Axial plane, Slice 77 of 155
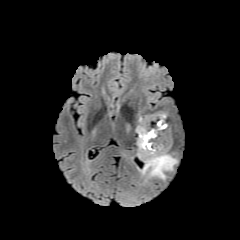
FLAIR magnetic resonance.
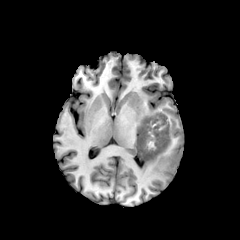
T1-weighted MRI.
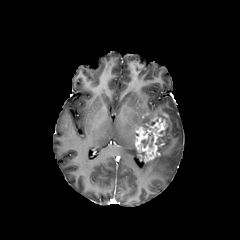
Same slice, post-contrast T1-weighted MRI.
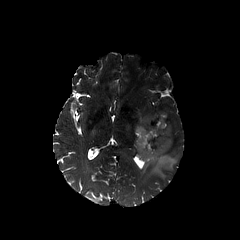
T2-weighted magnetic resonance of the same slice.
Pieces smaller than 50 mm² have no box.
The largest enhancing tumor region lies within left=135, top=114, right=167, bottom=162. The 2 largest peritumoral edema regions are located at left=140, top=128, right=177, bottom=179; left=136, top=114, right=154, bottom=128. The largest necrotic tumor core region is located at left=156, top=128, right=167, bottom=144.